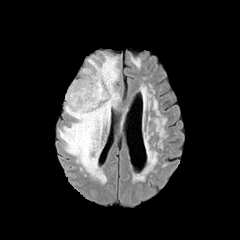
FLAIR MR.
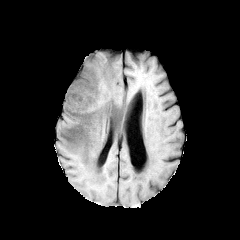
T1-weighted MRI.
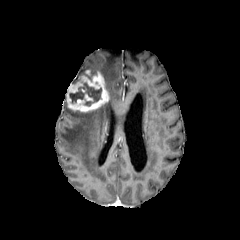
Same slice, post-contrast T1-weighted MR.
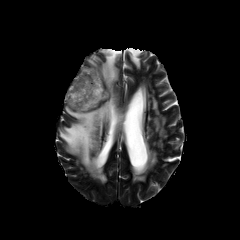
T2-weighted magnetic resonance.
240x240 px
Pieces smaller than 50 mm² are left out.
The largest enhancing tumor region is located at l=66, t=70, r=109, b=112. The necrotic tumor core is bounded by l=69, t=83, r=101, b=105. The largest peritumoral edema region is located at l=59, t=54, r=119, b=178.